Brain; Slice 53 of 155
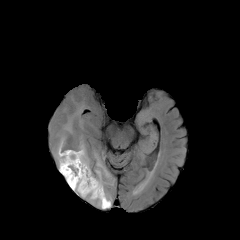
FLAIR magnetic resonance.
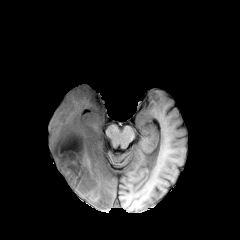
T1-weighted MRI.
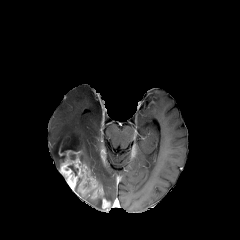
Post-contrast T1-weighted MRI.
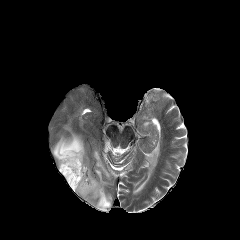
T2-weighted MRI.
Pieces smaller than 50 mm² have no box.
<segmentation>
  <peritumoral_edema>(left=52, top=115, right=113, bottom=206), (left=83, top=197, right=102, bottom=209)</peritumoral_edema>
  <enhancing_tumor>(left=58, top=136, right=110, bottom=210)</enhancing_tumor>
  <necrotic_tumor_core>(left=62, top=138, right=76, bottom=152)</necrotic_tumor_core>
</segmentation>